Brain, Slice index 112
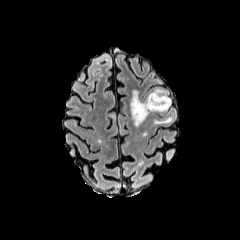
FLAIR MRI.
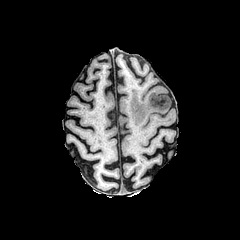
T1-weighted magnetic resonance.
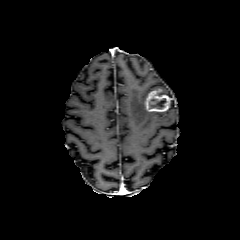
Same slice, post-contrast T1-weighted MR.
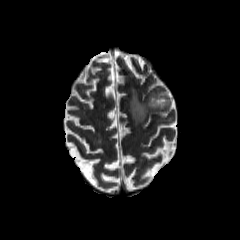
T2-weighted MRI of the same slice.
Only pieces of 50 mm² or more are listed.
The enhancing tumor appears at x1=145, y1=89, x2=170, y2=111. The necrotic tumor core appears at x1=148, y1=98, x2=166, y2=109. The 2 largest peritumoral edema regions are bounded by x1=154, y1=118, x2=171, y2=123; x1=130, y1=90, x2=165, y2=125.